FLAIR magnetic resonance.
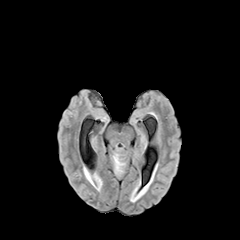
T1-weighted magnetic resonance.
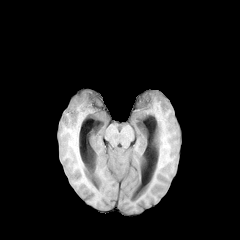
Post-contrast T1-weighted MRI.
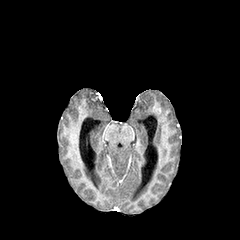
T2-weighted MRI.
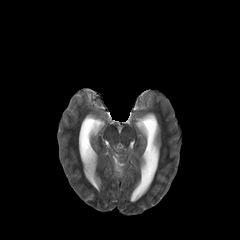
Head; 240x240
peritumoral edema = x1=112, y1=153, x2=124, y2=173